Head, Slice index 74, Axial plane
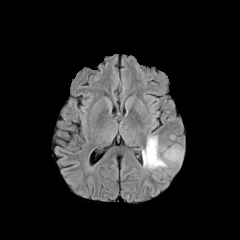
FLAIR MR image.
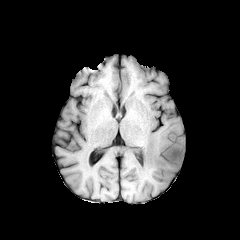
T1-weighted MRI of the same slice.
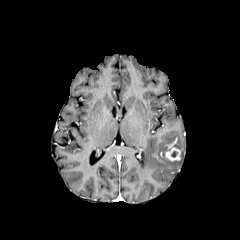
Post-contrast T1-weighted MRI.
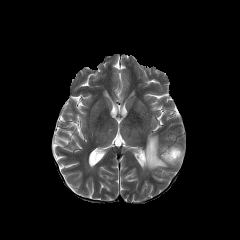
T2-weighted MR.
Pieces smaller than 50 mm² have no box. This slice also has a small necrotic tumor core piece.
enhancing tumor at (x1=165, y1=146, x2=181, y2=161)
peritumoral edema at (x1=142, y1=136, x2=183, y2=169)